240x240 px, Slice index 64
FLAIR magnetic resonance.
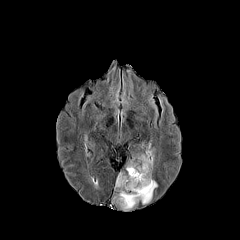
T1-weighted MR.
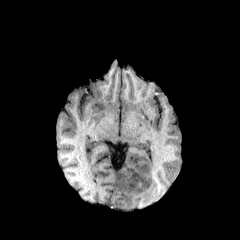
Post-contrast T1-weighted MR.
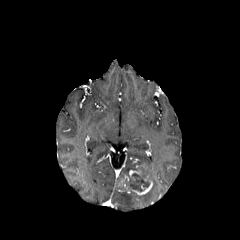
T2-weighted MR.
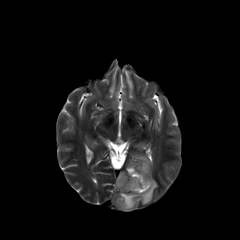
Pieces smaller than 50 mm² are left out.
peritumoral edema: box=[112, 154, 157, 210]
enhancing tumor: box=[116, 169, 152, 195]
necrotic tumor core: box=[125, 173, 149, 191]